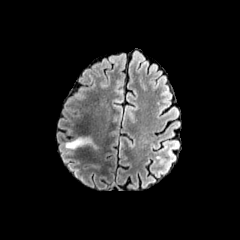
FLAIR MR.
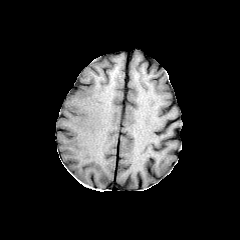
T1-weighted MR.
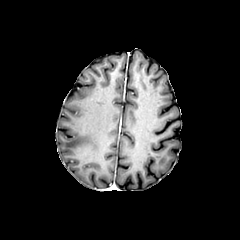
Post-contrast T1-weighted magnetic resonance.
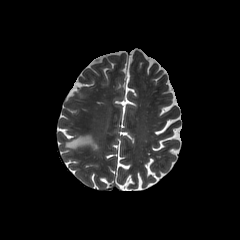
T2-weighted MRI.
Axial view, 240x240, Head
The peritumoral edema is located at bbox=[65, 136, 97, 149].